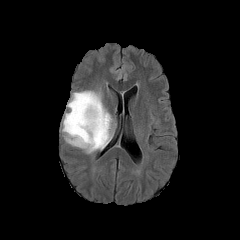
FLAIR magnetic resonance.
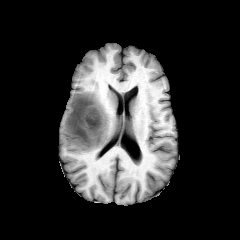
Same slice, T1-weighted MR.
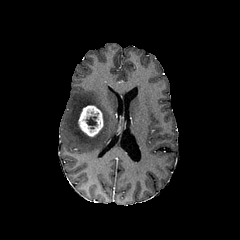
Post-contrast T1-weighted MRI.
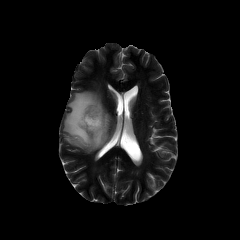
T2-weighted MRI.
Head; 240x240; Axial slice
The necrotic tumor core is bounded by <box>86,116,96,128</box>. The enhancing tumor is bounded by <box>78,105,103,136</box>. The peritumoral edema is bounded by <box>62,91,112,153</box>.